Head; Axial plane; 240x240
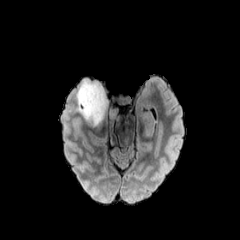
FLAIR magnetic resonance.
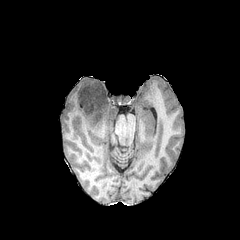
T1-weighted magnetic resonance of the same slice.
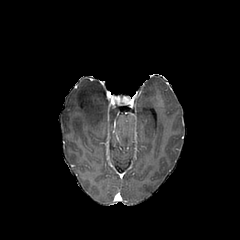
Same slice, post-contrast T1-weighted MR image.
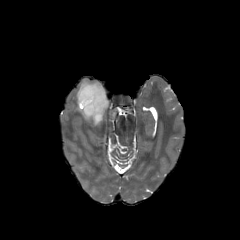
T2-weighted magnetic resonance of the same slice.
peritumoral edema: <box>73,76,121,132</box>